FLAIR MR image.
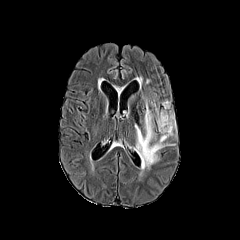
T1-weighted MRI.
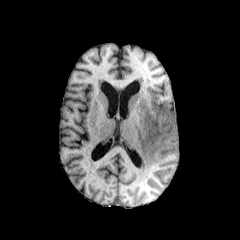
Post-contrast T1-weighted MRI.
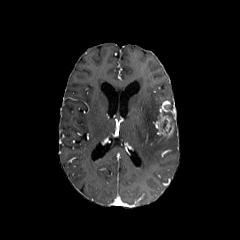
T2-weighted MR.
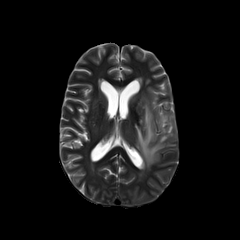
Axial view, Image size 240x240, Brain
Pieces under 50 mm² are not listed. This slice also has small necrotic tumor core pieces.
<segmentation>
  <enhancing_tumor><bbox>155, 101, 174, 138</bbox></enhancing_tumor>
  <peritumoral_edema><bbox>163, 111, 176, 131</bbox>, <bbox>135, 99, 174, 168</bbox></peritumoral_edema>
</segmentation>